Axial slice. Head. Slice 69/155.
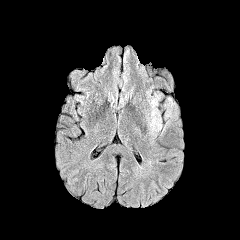
FLAIR MRI.
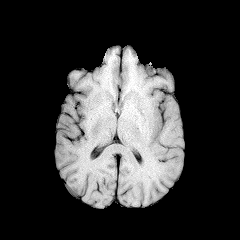
T1-weighted MR.
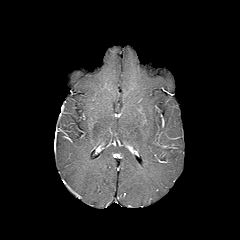
Post-contrast T1-weighted MRI.
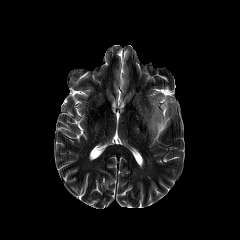
T2-weighted MR of the same slice.
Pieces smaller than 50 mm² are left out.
peritumoral edema: [147,98,161,134]